Image size 240x240, Head, Axial slice
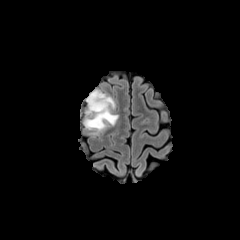
FLAIR MR.
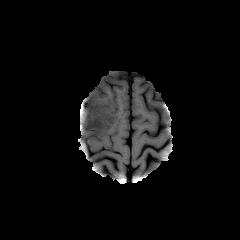
T1-weighted MR image.
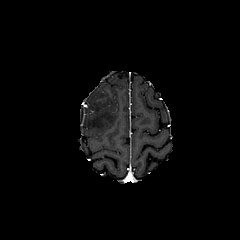
Post-contrast T1-weighted MR of the same slice.
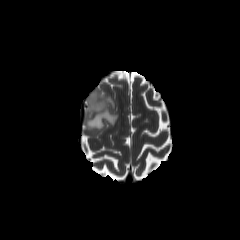
T2-weighted MR of the same slice.
Annotated regions:
* peritumoral edema: x1=83 y1=89 x2=118 y2=134